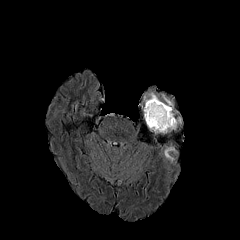
FLAIR MRI.
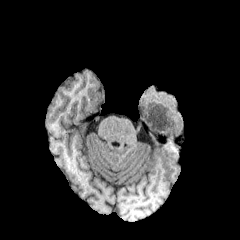
T1-weighted MR.
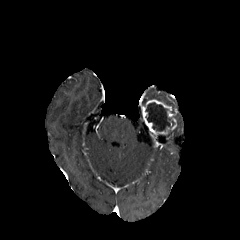
Post-contrast T1-weighted magnetic resonance.
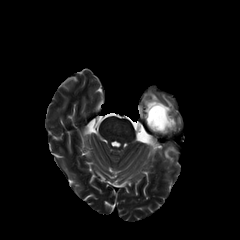
Same slice, T2-weighted magnetic resonance.
240x240 px, Head
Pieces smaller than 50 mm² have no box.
necrotic tumor core: rect(146, 102, 171, 131) | enhancing tumor: rect(142, 99, 176, 135) | peritumoral edema: rect(144, 92, 159, 103); rect(162, 94, 173, 112); rect(164, 147, 175, 162)